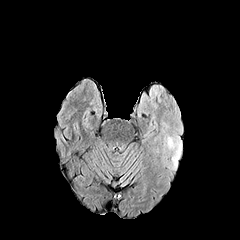
FLAIR MR.
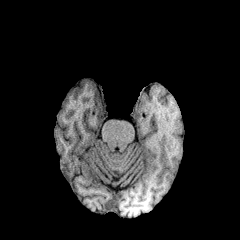
T1-weighted MRI.
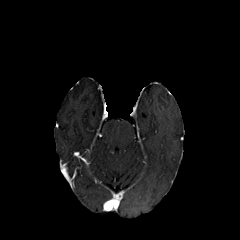
Post-contrast T1-weighted magnetic resonance of the same slice.
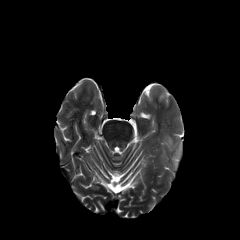
T2-weighted magnetic resonance.
Image size 240x240. Axial view.
{"peritumoral_edema": ["bbox=[166, 135, 181, 165]"]}